240x240 px, Image width 240 mm, 1.00 mm slice spacing, Axial view
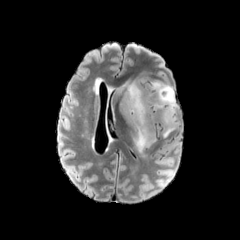
FLAIR magnetic resonance.
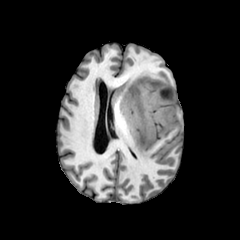
T1-weighted MRI of the same slice.
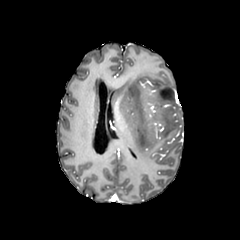
Same slice, post-contrast T1-weighted magnetic resonance.
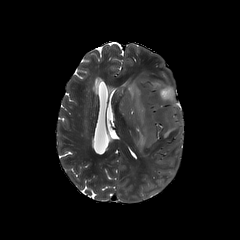
Same slice, T2-weighted MR.
<segmentation>
  <peritumoral_edema>left=116, top=76, right=177, bottom=153</peritumoral_edema>
</segmentation>